FLAIR MR.
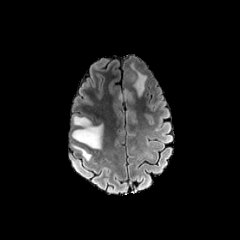
T1-weighted MRI.
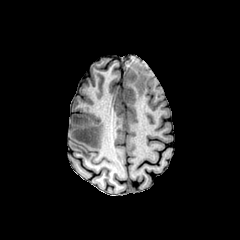
Post-contrast T1-weighted MR.
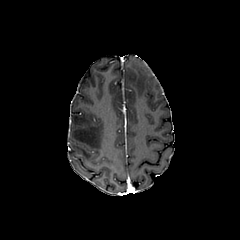
T2-weighted MR image.
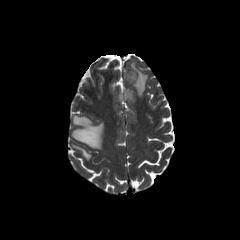
Axial slice; 240x240
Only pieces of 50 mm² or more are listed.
The 4 largest peritumoral edema regions appear at 125, 90, 133, 100; 72, 145, 91, 160; 72, 115, 103, 149; 127, 63, 147, 97.